Axial view, Slice 100 of 155
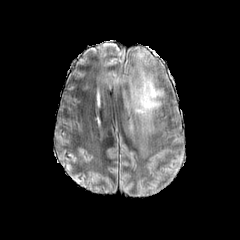
FLAIR magnetic resonance.
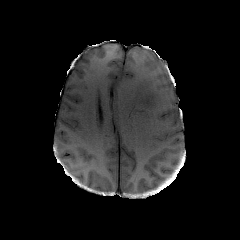
T1-weighted MR image.
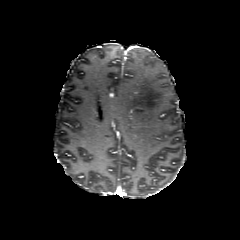
Post-contrast T1-weighted MRI.
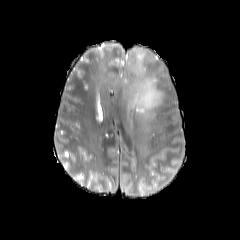
T2-weighted MRI of the same slice.
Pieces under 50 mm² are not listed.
The largest peritumoral edema region lies within [123,65,164,133].